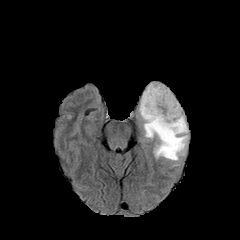
FLAIR magnetic resonance.
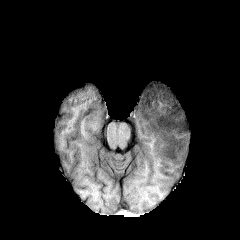
T1-weighted magnetic resonance.
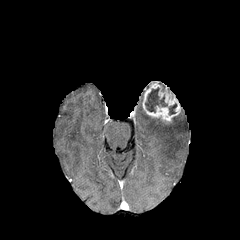
Post-contrast T1-weighted MRI.
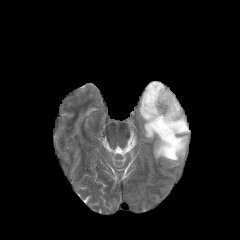
T2-weighted MR image of the same slice.
240x240 px, Brain
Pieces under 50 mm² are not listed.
The largest peritumoral edema region lies within (138, 95, 188, 166). The enhancing tumor appears at (142, 81, 181, 123). 2 necrotic tumor core regions appear at (169, 104, 176, 114), (145, 87, 167, 112).